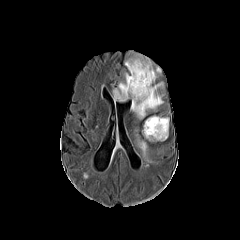
FLAIR MR image.
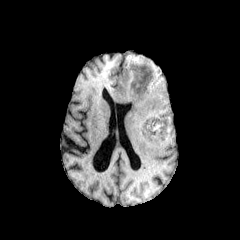
T1-weighted magnetic resonance.
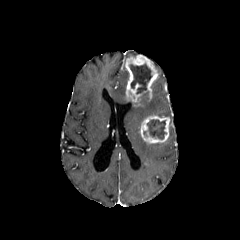
Post-contrast T1-weighted MR.
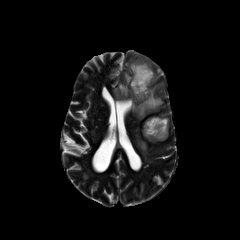
Same slice, T2-weighted MR image.
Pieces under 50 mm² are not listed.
- enhancing tumor: 140,115,171,143; 125,55,158,106
- necrotic tumor core: 143,119,166,139; 129,64,151,93
- peritumoral edema: 138,138,147,156; 112,72,128,99; 131,82,163,119